FLAIR MR.
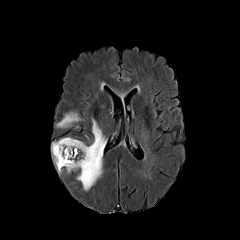
T1-weighted magnetic resonance.
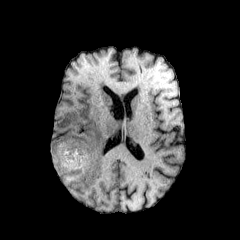
Post-contrast T1-weighted MR.
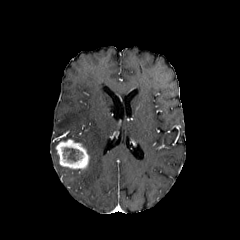
T2-weighted MRI.
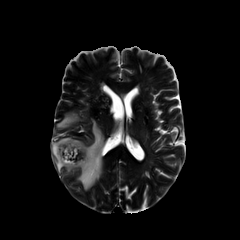
240x240 px. Head. Axial plane.
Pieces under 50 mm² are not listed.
<segmentation>
  <enhancing_tumor>[x1=55, y1=139, x2=89, y2=169]</enhancing_tumor>
  <peritumoral_edema>[x1=51, y1=141, x2=62, y2=172], [x1=56, y1=112, x2=81, y2=127], [x1=73, y1=118, x2=106, y2=190]</peritumoral_edema>
  <necrotic_tumor_core>[x1=63, y1=148, x2=79, y2=161]</necrotic_tumor_core>
</segmentation>